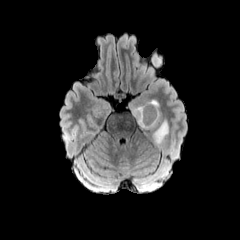
FLAIR MRI.
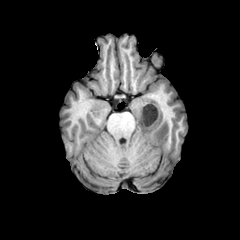
T1-weighted MR image of the same slice.
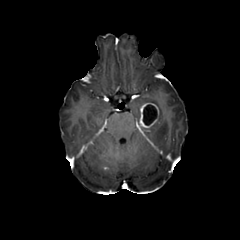
Post-contrast T1-weighted magnetic resonance.
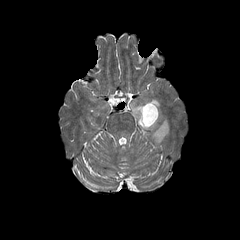
Same slice, T2-weighted MR.
240x240 px; Brain
The enhancing tumor is at (139,102,159,128). 2 peritumoral edema regions are bounded by (132,99,159,124), (140,111,168,144). The necrotic tumor core lies within (143,104,157,125).